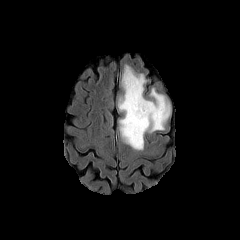
FLAIR MRI.
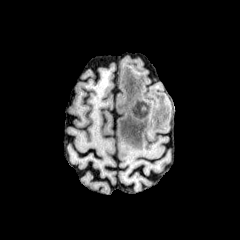
Same slice, T1-weighted MRI.
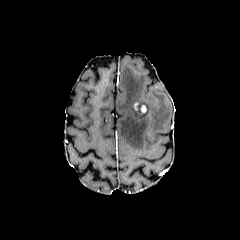
Post-contrast T1-weighted MR.
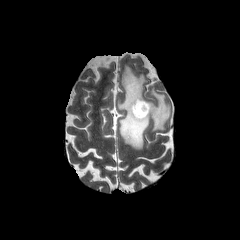
T2-weighted MR image.
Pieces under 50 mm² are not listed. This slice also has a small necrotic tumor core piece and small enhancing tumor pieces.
peritumoral edema: [118, 65, 170, 150]